Image width 240 mm
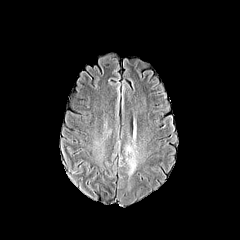
FLAIR MR image.
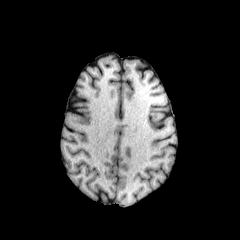
T1-weighted MR of the same slice.
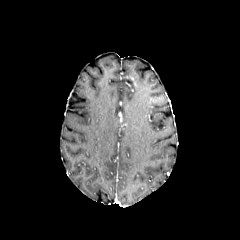
Post-contrast T1-weighted magnetic resonance.
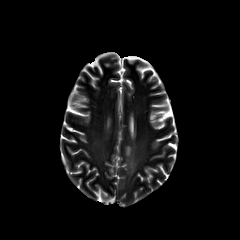
T2-weighted MR.
Segmented structures:
- peritumoral edema: left=125, top=144, right=137, bottom=175